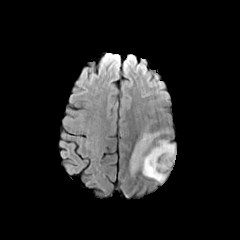
FLAIR magnetic resonance.
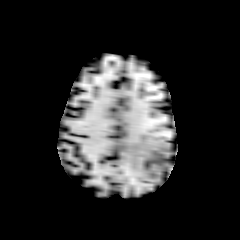
Same slice, T1-weighted MRI.
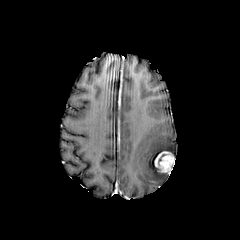
Same slice, post-contrast T1-weighted MRI.
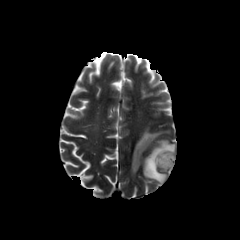
T2-weighted MR image.
Image size 240x240. Axial slice. Brain.
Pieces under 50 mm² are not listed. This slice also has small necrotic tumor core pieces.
The peritumoral edema is located at 131:132:175:182. The enhancing tumor appears at 154:151:174:173.